FLAIR MR image.
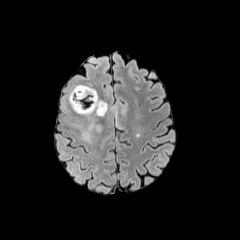
T1-weighted MR image.
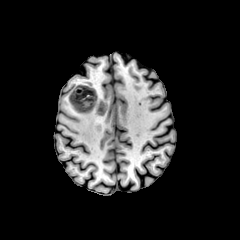
Post-contrast T1-weighted MR image.
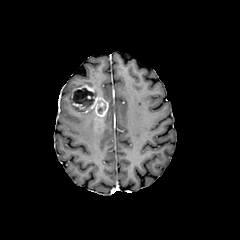
T2-weighted magnetic resonance.
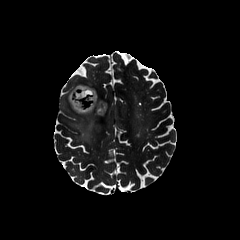
240x240; Axial view
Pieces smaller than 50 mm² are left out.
Annotated regions:
- peritumoral edema: l=68, t=84, r=102, b=143
- enhancing tumor: l=71, t=85, r=108, b=116
- necrotic tumor core: l=72, t=88, r=94, b=110